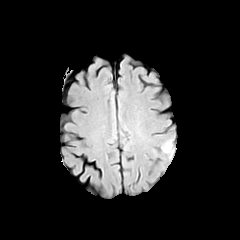
FLAIR MRI.
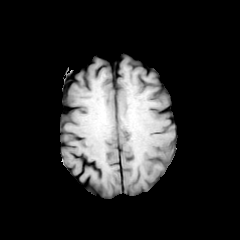
T1-weighted magnetic resonance.
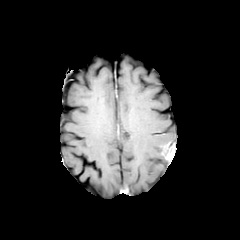
Post-contrast T1-weighted MRI of the same slice.
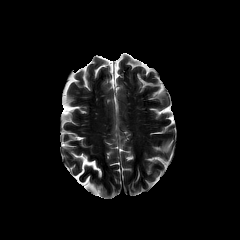
T2-weighted magnetic resonance.
Brain | 240x240
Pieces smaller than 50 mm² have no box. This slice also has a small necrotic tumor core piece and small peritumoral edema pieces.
The enhancing tumor is located at (162, 142, 174, 161).